FLAIR MR.
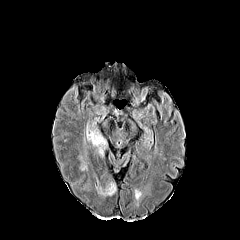
T1-weighted magnetic resonance.
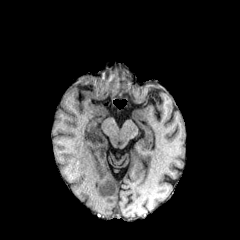
Post-contrast T1-weighted MRI.
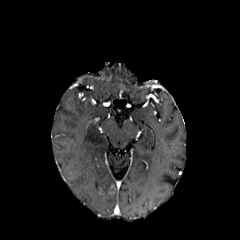
T2-weighted MRI.
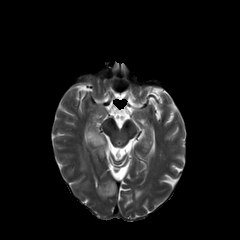
Head. Axial view.
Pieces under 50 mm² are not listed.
peritumoral edema: bounding box box(86, 123, 107, 157)
enhancing tumor: bounding box box(108, 184, 115, 194)